FLAIR MR.
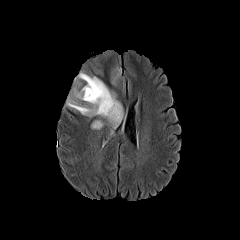
T1-weighted MR.
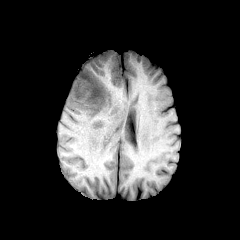
Post-contrast T1-weighted MRI.
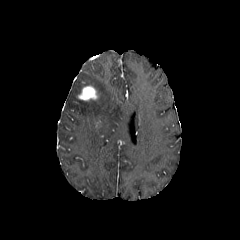
T2-weighted MR image.
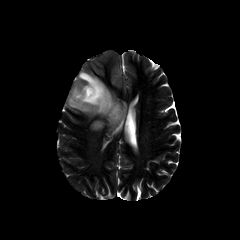
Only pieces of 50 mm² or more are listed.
peritumoral edema — left=66, top=51, right=125, bottom=134
enhancing tumor — left=76, top=85, right=99, bottom=101